Slice 106 of 155; Brain; 240x240 px
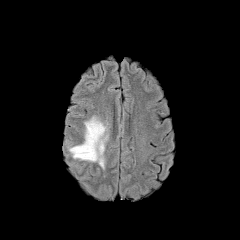
FLAIR magnetic resonance.
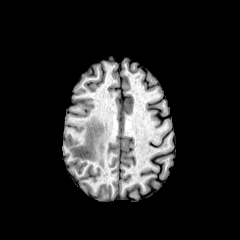
T1-weighted MR image of the same slice.
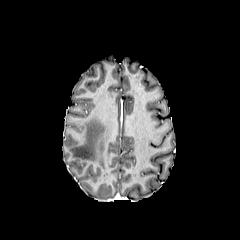
Post-contrast T1-weighted MR.
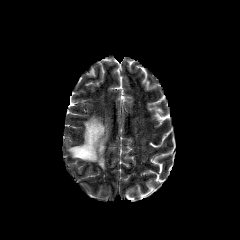
T2-weighted magnetic resonance of the same slice.
peritumoral edema: bounding box l=69, t=116, r=107, b=168